Slice 112/155. Head. 240x240 px.
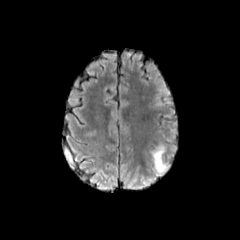
FLAIR MR.
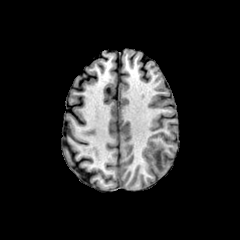
T1-weighted magnetic resonance of the same slice.
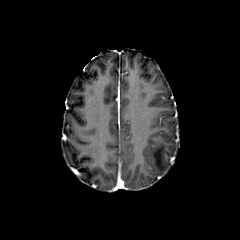
Same slice, post-contrast T1-weighted magnetic resonance.
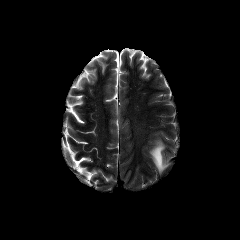
T2-weighted MR image of the same slice.
peritumoral edema: l=152, t=144, r=168, b=173